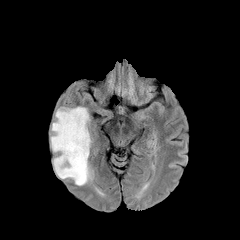
FLAIR MR image.
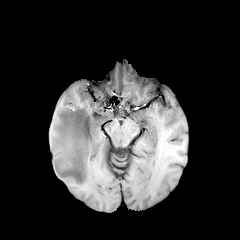
Same slice, T1-weighted MR image.
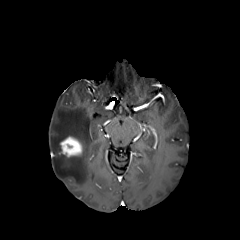
Post-contrast T1-weighted magnetic resonance.
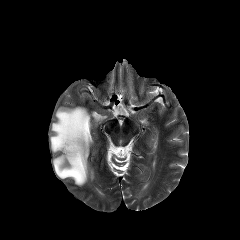
T2-weighted MR image.
Axial plane | Head
peritumoral_edema:
  - (x1=50, y1=106, x2=92, y2=185)
enhancing_tumor:
  - (x1=60, y1=136, x2=82, y2=157)